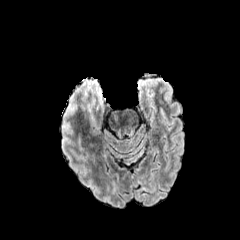
FLAIR MR.
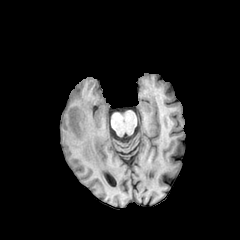
T1-weighted MRI.
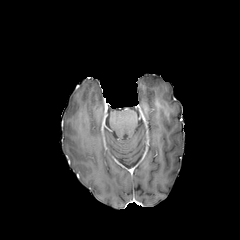
Same slice, post-contrast T1-weighted MR image.
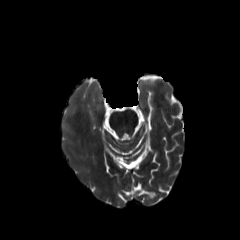
T2-weighted MR.
Brain
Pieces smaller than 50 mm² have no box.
The 2 largest peritumoral edema regions are located at <box>78,134,85,152</box>, <box>94,87,105,113</box>.